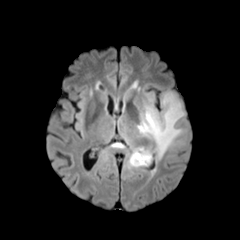
FLAIR MR image.
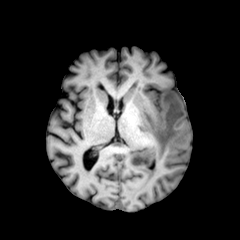
Same slice, T1-weighted MR.
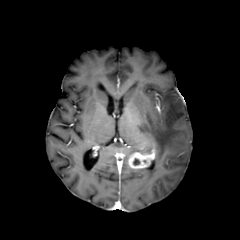
Post-contrast T1-weighted MRI.
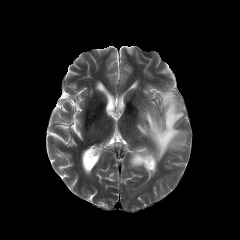
T2-weighted MRI of the same slice.
240x240 px; Axial plane; Head
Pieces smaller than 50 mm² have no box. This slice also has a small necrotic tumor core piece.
{"peritumoral_edema": ["130,146,151,155", "137,91,184,161"], "enhancing_tumor": ["128,148,155,168"]}